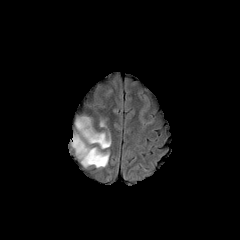
FLAIR MR image.
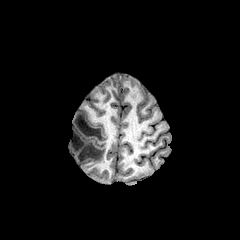
Same slice, T1-weighted MR.
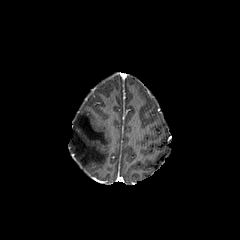
Same slice, post-contrast T1-weighted MR image.
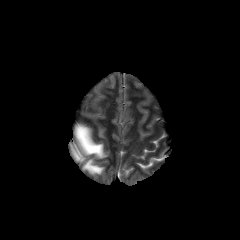
T2-weighted magnetic resonance.
Brain.
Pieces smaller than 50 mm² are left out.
peritumoral edema: bounding box [71,117,110,168]